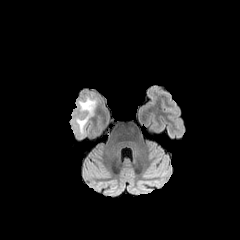
FLAIR MRI.
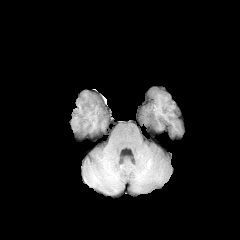
T1-weighted MR.
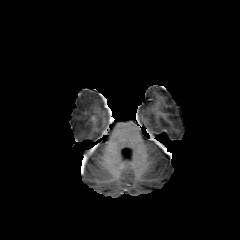
Post-contrast T1-weighted MRI.
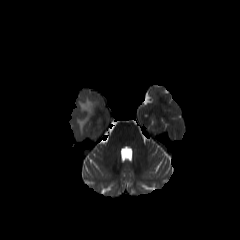
T2-weighted MR image.
Head | Axial view
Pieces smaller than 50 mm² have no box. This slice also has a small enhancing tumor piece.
The peritumoral edema is bounded by 76:96:95:133.